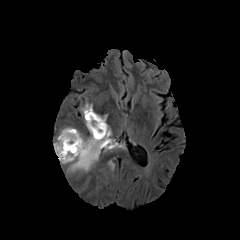
FLAIR magnetic resonance.
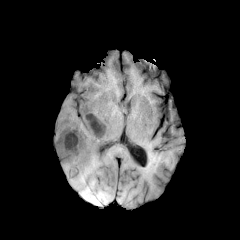
Same slice, T1-weighted magnetic resonance.
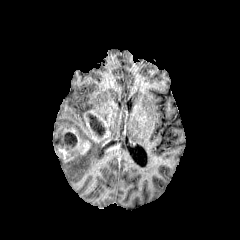
Same slice, post-contrast T1-weighted MR.
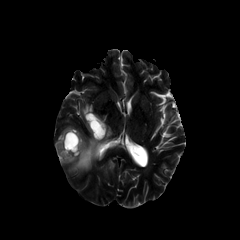
T2-weighted MRI.
Axial plane | Brain | 240x240 px
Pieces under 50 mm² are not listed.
Annotated regions:
* enhancing tumor: (56,128,90,161), (84,110,110,142), (107,142,119,151)
* necrotic tumor core: (87,114,106,136), (103,140,116,147), (64,132,77,144)
* peritumoral edema: (58,126,114,172), (81,103,92,115)